Axial view, Brain, Slice 70/155
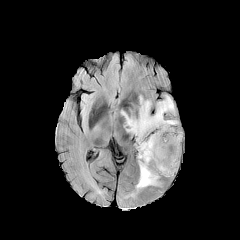
FLAIR MR.
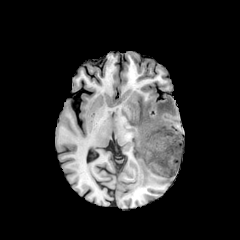
T1-weighted magnetic resonance of the same slice.
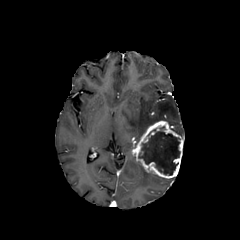
Post-contrast T1-weighted MR image.
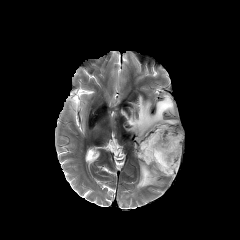
T2-weighted MRI.
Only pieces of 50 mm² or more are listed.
Annotated regions:
• peritumoral edema: {"x1": 136, "y1": 163, "x2": 159, "y2": 188}, {"x1": 121, "y1": 95, "x2": 178, "y2": 142}
• necrotic tumor core: {"x1": 139, "y1": 131, "x2": 179, "y2": 175}
• enhancing tumor: {"x1": 133, "y1": 120, "x2": 184, "y2": 178}